Axial view | 240x240 | Slice index 84
FLAIR magnetic resonance.
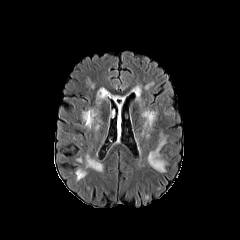
T1-weighted MR.
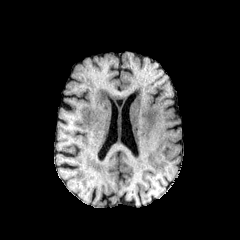
Post-contrast T1-weighted MRI.
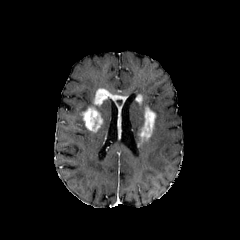
T2-weighted MR.
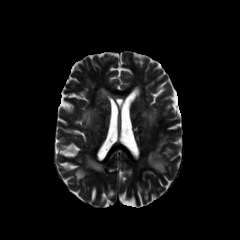
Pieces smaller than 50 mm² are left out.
Findings:
• peritumoral edema: rect(131, 85, 141, 96)
• enhancing tumor: rect(140, 107, 155, 139); rect(136, 94, 142, 103); rect(94, 88, 125, 134); rect(82, 107, 102, 132)